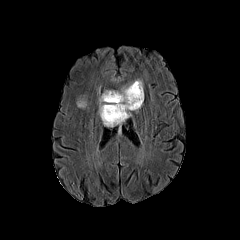
FLAIR MR.
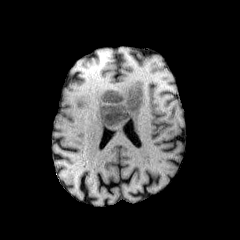
T1-weighted MR image.
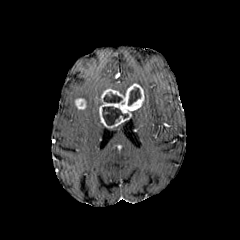
Same slice, post-contrast T1-weighted magnetic resonance.
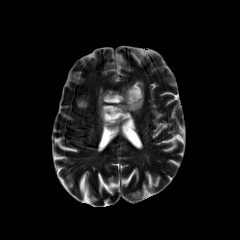
Same slice, T2-weighted magnetic resonance.
Head | Image size 240x240
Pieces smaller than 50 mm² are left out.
The largest peritumoral edema region appears at [119, 79, 143, 92]. The 3 largest necrotic tumor core regions are bounded by [128, 87, 140, 105], [103, 93, 122, 102], [102, 107, 128, 125]. The 2 largest enhancing tumor regions are located at [75, 98, 86, 109], [98, 83, 144, 127].